FLAIR MR image.
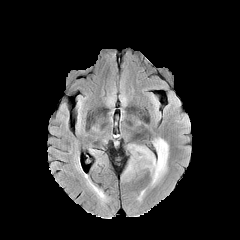
T1-weighted magnetic resonance.
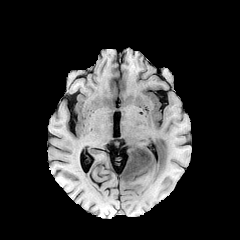
Post-contrast T1-weighted MR.
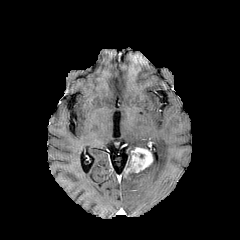
T2-weighted MR image.
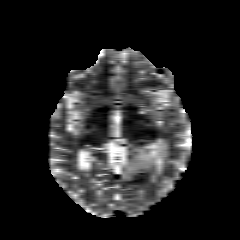
Axial slice.
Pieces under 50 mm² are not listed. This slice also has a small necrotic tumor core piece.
peritumoral edema = rect(129, 144, 148, 150); rect(146, 138, 168, 184)
enhancing tumor = rect(123, 147, 153, 178)